FLAIR magnetic resonance.
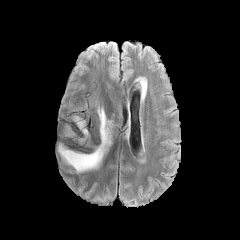
T1-weighted MR.
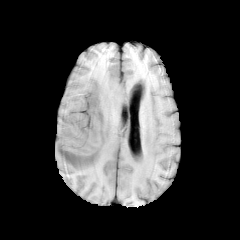
Post-contrast T1-weighted magnetic resonance.
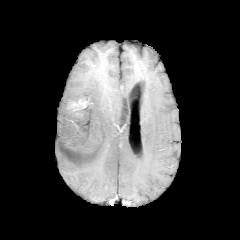
T2-weighted MRI.
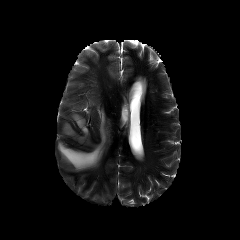
Image size 240x240. Axial slice.
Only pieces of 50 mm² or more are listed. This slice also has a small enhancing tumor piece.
Segmented structures:
• peritumoral edema: (x1=65, y1=124, x2=74, y2=135), (x1=58, y1=106, x2=111, y2=172), (x1=72, y1=114, x2=88, y2=142), (x1=70, y1=104, x2=81, y2=110)